FLAIR magnetic resonance.
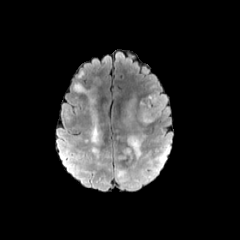
T1-weighted MR.
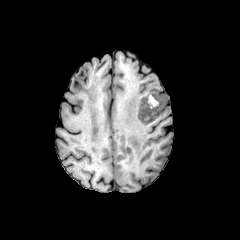
Post-contrast T1-weighted MR image.
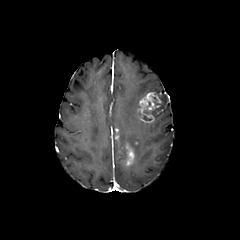
T2-weighted MRI.
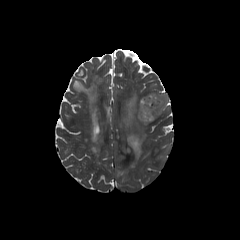
240x240 px, Axial slice
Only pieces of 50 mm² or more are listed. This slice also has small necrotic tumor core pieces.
<segmentation>
  <enhancing_tumor>left=125, top=145, right=134, bottom=166; left=137, top=92, right=161, bottom=123</enhancing_tumor>
  <peritumoral_edema>left=127, top=131, right=146, bottom=168; left=157, top=144, right=169, bottom=163; left=116, top=169, right=128, bottom=182; left=155, top=92, right=168, bottom=119</peritumoral_edema>
</segmentation>